Axial slice. Slice index 73. Head.
FLAIR MR image.
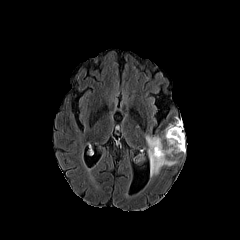
T1-weighted MR.
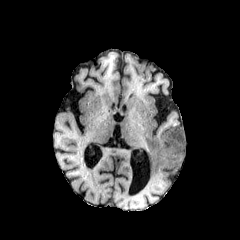
Post-contrast T1-weighted MR image.
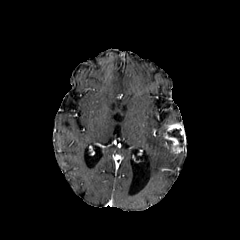
T2-weighted MRI.
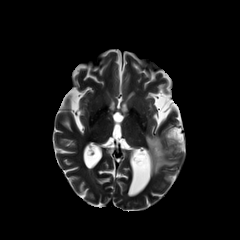
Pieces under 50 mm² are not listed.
<segmentation>
  <necrotic_tumor_core>167:129:183:147</necrotic_tumor_core>
  <peritumoral_edema>145:134:177:176</peritumoral_edema>
  <enhancing_tumor>163:122:186:154</enhancing_tumor>
</segmentation>